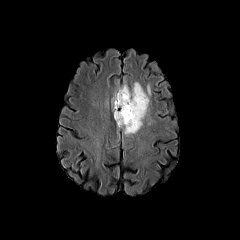
FLAIR MR image.
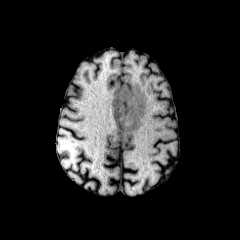
Same slice, T1-weighted MR.
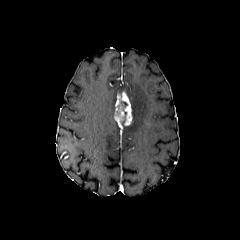
Post-contrast T1-weighted MRI.
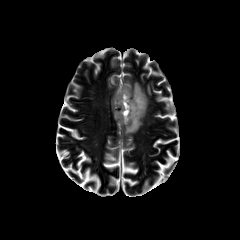
T2-weighted MR image.
Axial plane, 240x240 px, Head
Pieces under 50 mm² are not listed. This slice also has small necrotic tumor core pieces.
Annotated regions:
* enhancing tumor: x1=114 y1=91 x2=132 y2=126
* peritumoral edema: x1=111 y1=82 x2=149 y2=135